240x240; Slice 70 of 155; Axial slice; Brain
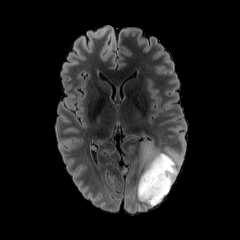
FLAIR MR image.
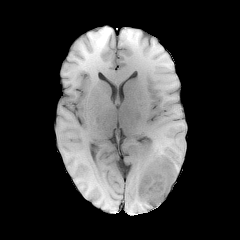
Same slice, T1-weighted MR.
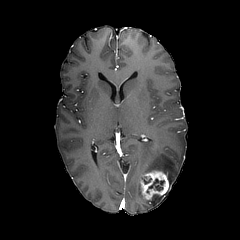
Post-contrast T1-weighted magnetic resonance.
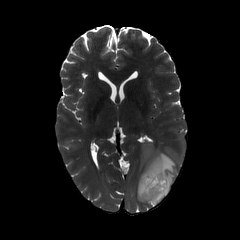
Same slice, T2-weighted MRI.
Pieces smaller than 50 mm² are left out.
The largest necrotic tumor core region appears at (x1=149, y1=178, x2=164, y2=190). The peritumoral edema is at (x1=137, y1=141, x2=179, y2=206). The largest enhancing tumor region is at (x1=140, y1=170, x2=169, y2=200).